Axial slice | Head | 240x240 px
FLAIR MR image.
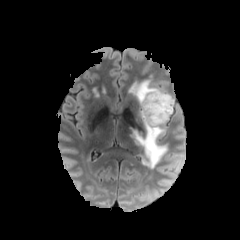
T1-weighted magnetic resonance.
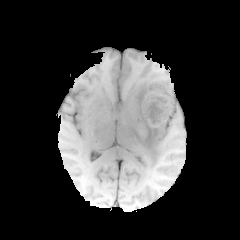
Post-contrast T1-weighted magnetic resonance.
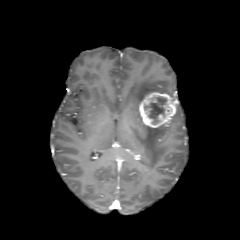
T2-weighted magnetic resonance.
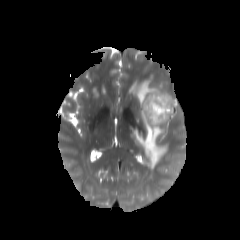
necrotic_tumor_core:
  - (144, 97, 166, 123)
peritumoral_edema:
  - (129, 79, 169, 103)
  - (134, 124, 166, 168)
enhancing_tumor:
  - (139, 92, 176, 127)